FLAIR MR.
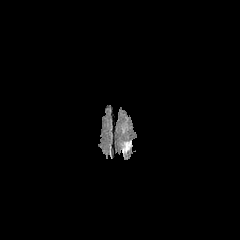
T1-weighted magnetic resonance.
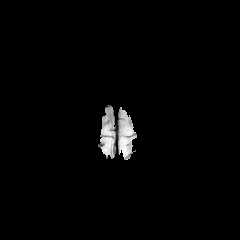
Post-contrast T1-weighted MRI.
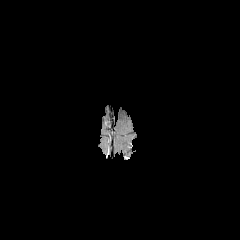
T2-weighted MRI.
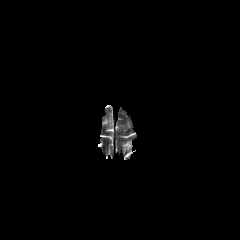
Axial view.
peritumoral edema: bounding box bbox=[121, 140, 131, 153]; bbox=[121, 121, 127, 133]